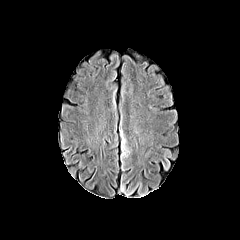
FLAIR MR image.
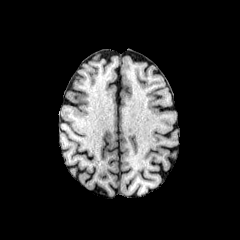
Same slice, T1-weighted MR image.
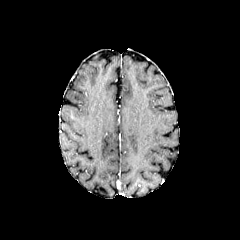
Post-contrast T1-weighted MRI of the same slice.
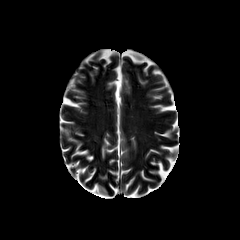
T2-weighted MRI.
Axial view. Head. 240x240 px.
<segmentation>
  <peritumoral_edema>x1=120, y1=129, x2=131, y2=160</peritumoral_edema>
</segmentation>